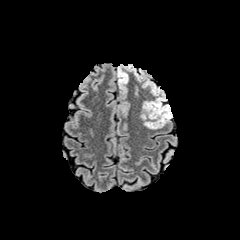
FLAIR MRI.
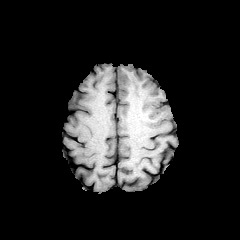
Same slice, T1-weighted magnetic resonance.
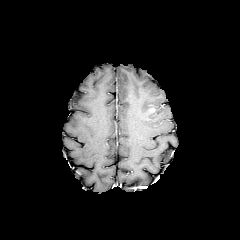
Same slice, post-contrast T1-weighted MR image.
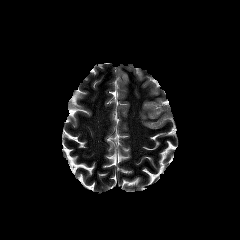
T2-weighted MR.
Axial view.
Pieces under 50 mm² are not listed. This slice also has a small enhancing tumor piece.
peritumoral edema — l=117, t=66, r=128, b=89; l=127, t=66, r=142, b=80; l=141, t=80, r=172, b=129